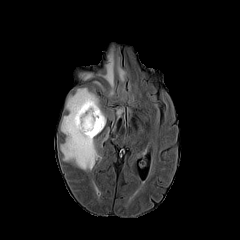
FLAIR magnetic resonance.
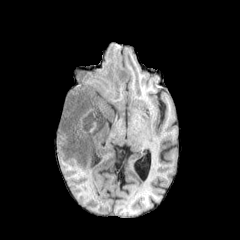
T1-weighted magnetic resonance.
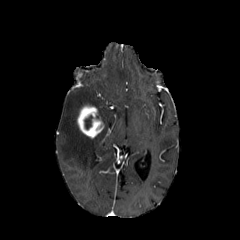
Post-contrast T1-weighted MRI of the same slice.
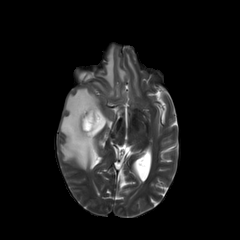
Same slice, T2-weighted MRI.
Image size 240x240.
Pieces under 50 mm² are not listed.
necrotic_tumor_core:
  - (85,115,92,129)
peritumoral_edema:
  - (60,87,106,170)
  - (99,49,114,95)
  - (117,58,126,81)
  - (82,74,92,80)
enhancing_tumor:
  - (77,104,104,138)